FLAIR MRI.
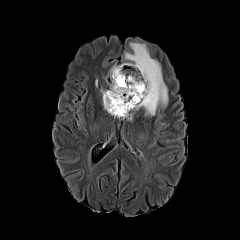
T1-weighted MR.
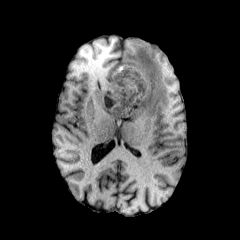
Post-contrast T1-weighted MRI.
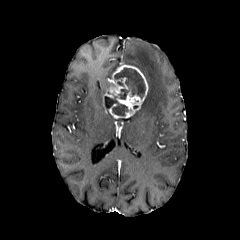
T2-weighted MR.
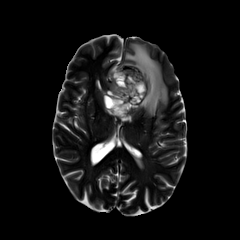
240x240 px; Head; Axial plane
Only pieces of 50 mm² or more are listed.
necrotic_tumor_core:
  - [x1=114, y1=68, x2=145, y2=99]
  - [x1=104, y1=96, x2=127, y2=115]
peritumoral_edema:
  - [x1=123, y1=42, x2=167, y2=116]
enhancing_tumor:
  - [x1=103, y1=64, x2=148, y2=118]